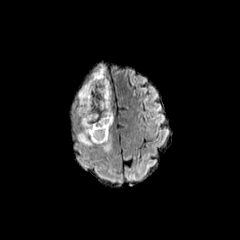
FLAIR magnetic resonance.
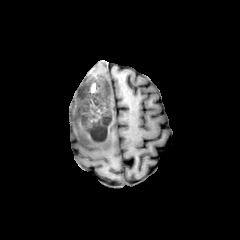
T1-weighted magnetic resonance of the same slice.
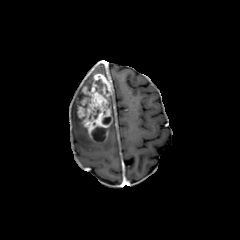
Post-contrast T1-weighted MRI.
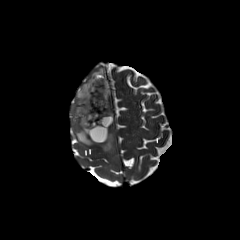
T2-weighted MR of the same slice.
Head; Axial slice
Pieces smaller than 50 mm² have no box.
The 2 largest peritumoral edema regions appear at rect(77, 119, 111, 151); rect(74, 66, 106, 118). The largest enhancing tumor region lies within rect(78, 73, 112, 142). The 4 largest necrotic tumor core regions are located at rect(102, 117, 110, 124); rect(93, 107, 100, 118); rect(91, 127, 105, 141); rect(95, 79, 108, 94).